FLAIR magnetic resonance.
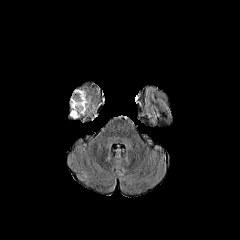
T1-weighted magnetic resonance.
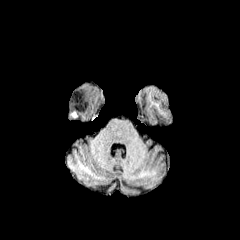
Post-contrast T1-weighted magnetic resonance.
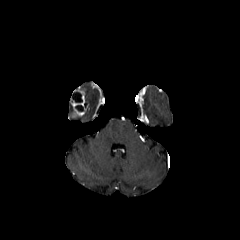
T2-weighted magnetic resonance.
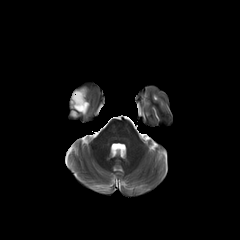
240x240 px.
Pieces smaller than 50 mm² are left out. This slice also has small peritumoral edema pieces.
necrotic tumor core: {"x1": 72, "y1": 92, "x2": 82, "y2": 102} | enhancing tumor: {"x1": 70, "y1": 89, "x2": 88, "y2": 115}